FLAIR MR image.
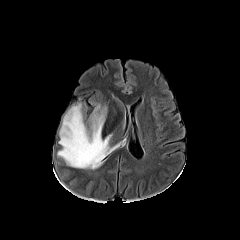
T1-weighted MR image.
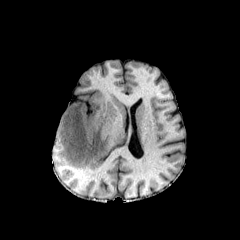
Post-contrast T1-weighted MRI.
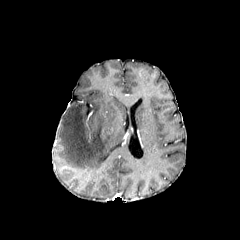
T2-weighted magnetic resonance.
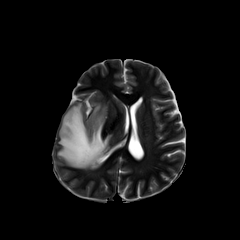
Brain.
The peritumoral edema lies within x1=57 y1=103 x2=119 y2=169.